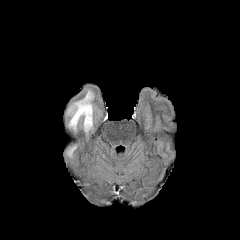
FLAIR MR image.
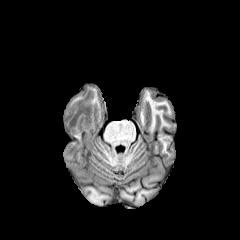
T1-weighted MR.
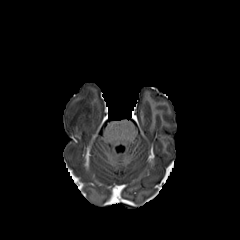
Same slice, post-contrast T1-weighted MR image.
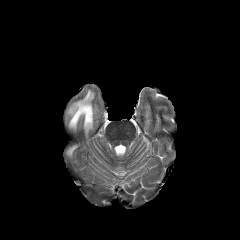
Same slice, T2-weighted magnetic resonance.
Axial plane
Annotated regions:
- peritumoral edema: (x1=67, y1=146, x2=76, y2=156), (x1=67, y1=90, x2=94, y2=133)